FLAIR MR image.
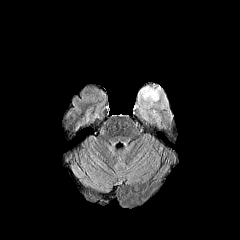
T1-weighted magnetic resonance.
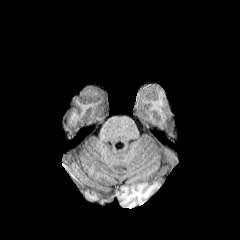
Post-contrast T1-weighted MRI.
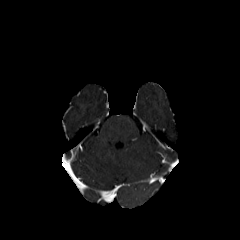
T2-weighted magnetic resonance.
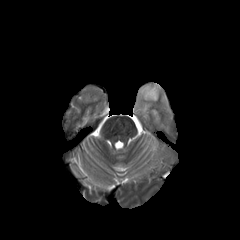
Brain. Axial view. 240x240.
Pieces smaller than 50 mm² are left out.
peritumoral edema: bounding box bbox(152, 111, 160, 122); bbox(137, 86, 167, 119)